FLAIR MRI.
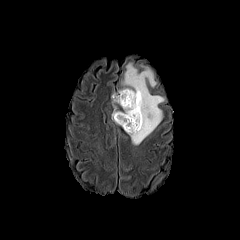
T1-weighted MRI.
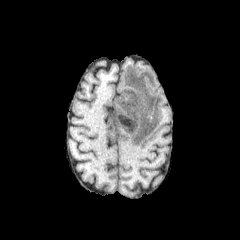
Post-contrast T1-weighted MR.
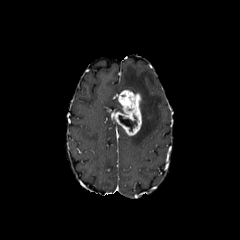
T2-weighted MRI.
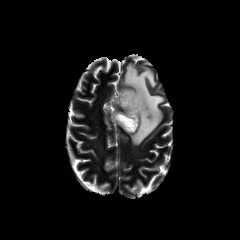
Axial slice
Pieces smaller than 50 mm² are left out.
necrotic_tumor_core:
  - [x1=118, y1=115, x2=137, y2=131]
enhancing_tumor:
  - [x1=111, y1=90, x2=141, y2=135]
peritumoral_edema:
  - [x1=118, y1=62, x2=166, y2=145]
  - [x1=111, y1=92, x2=120, y2=111]